FLAIR MR image.
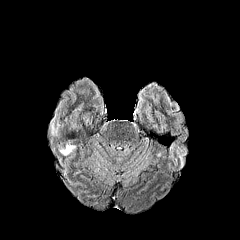
T1-weighted MR image.
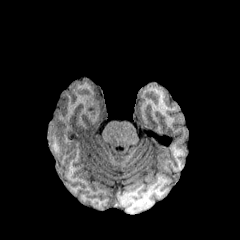
Post-contrast T1-weighted MR image.
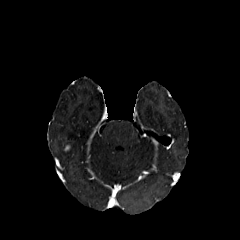
T2-weighted MR.
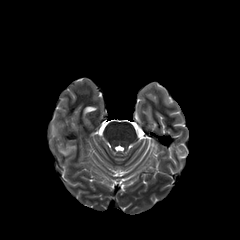
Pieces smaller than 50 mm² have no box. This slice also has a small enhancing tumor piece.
peritumoral edema = 58, 145, 75, 155; 51, 122, 58, 136